FLAIR MR.
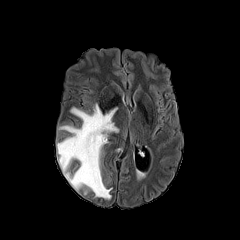
T1-weighted MR image.
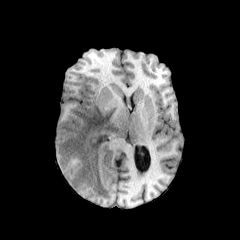
Post-contrast T1-weighted MR image.
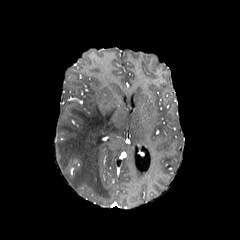
T2-weighted magnetic resonance.
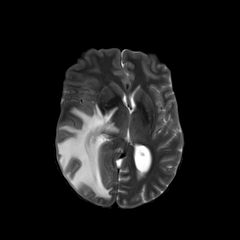
240x240 px | Axial plane
peritumoral edema at bbox(57, 104, 118, 199)